Brain, Slice 84 of 155
FLAIR MR image.
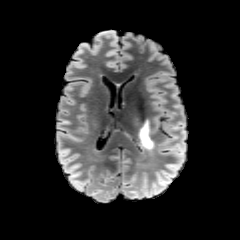
T1-weighted MRI.
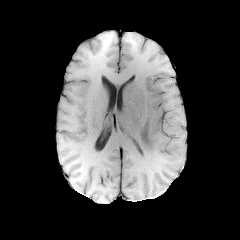
Post-contrast T1-weighted MR.
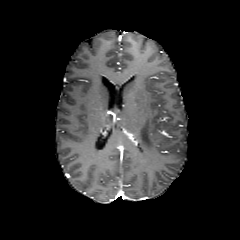
T2-weighted magnetic resonance.
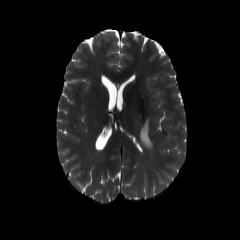
The peritumoral edema lies within box=[139, 120, 153, 150].